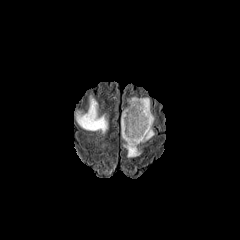
FLAIR MRI.
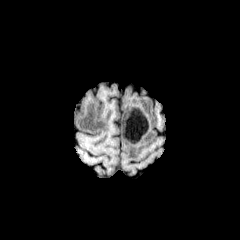
T1-weighted MR of the same slice.
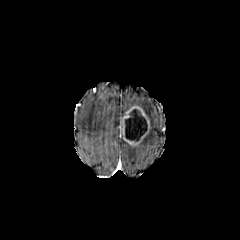
Post-contrast T1-weighted MR.
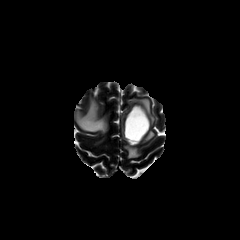
Same slice, T2-weighted magnetic resonance.
Head
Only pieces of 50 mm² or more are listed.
Segmented structures:
* necrotic tumor core: box(125, 109, 147, 141)
* peritumoral edema: box(76, 98, 107, 133); box(124, 143, 140, 157); box(128, 97, 154, 142)
* enhancing tumor: box(121, 105, 149, 146)